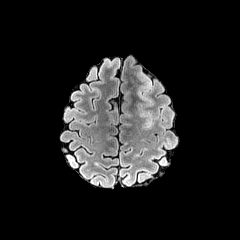
FLAIR MRI.
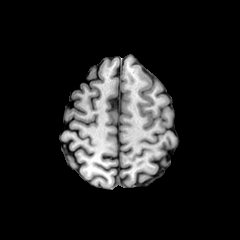
T1-weighted MR image.
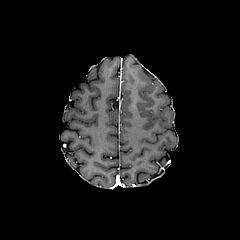
Post-contrast T1-weighted magnetic resonance.
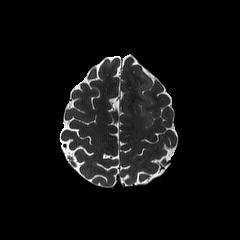
Same slice, T2-weighted MR image.
240x240
Findings:
- peritumoral edema: 138 77 152 126